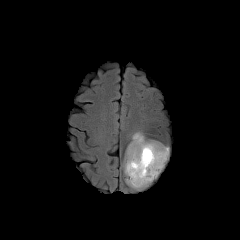
FLAIR magnetic resonance.
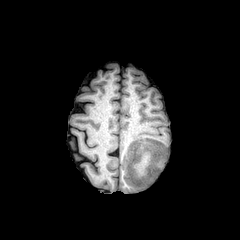
T1-weighted MRI.
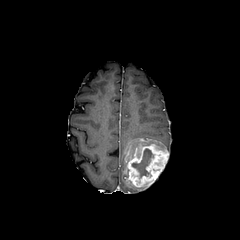
Post-contrast T1-weighted MRI.
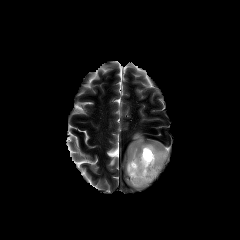
T2-weighted MR of the same slice.
Axial view, Brain
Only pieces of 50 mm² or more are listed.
The enhancing tumor lies within x1=124, y1=138, x2=168, y2=187. The necrotic tumor core appears at x1=132, y1=149, x2=153, y2=177. The largest peritumoral edema region is at x1=125, y1=132, x2=144, y2=156.